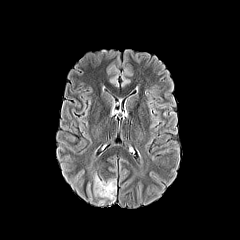
FLAIR MR.
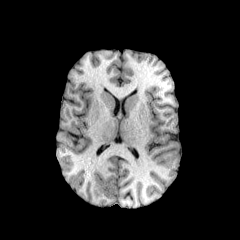
T1-weighted MRI.
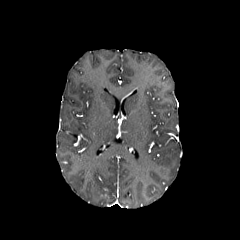
Same slice, post-contrast T1-weighted MRI.
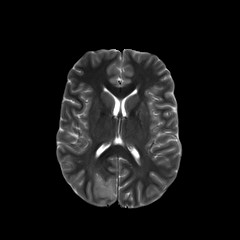
T2-weighted MR.
Brain | Axial view
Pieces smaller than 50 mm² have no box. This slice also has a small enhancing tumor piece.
The peritumoral edema is bounded by <bbox>93, 173, 116, 203</bbox>.